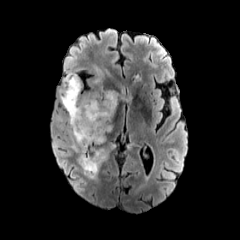
FLAIR MRI.
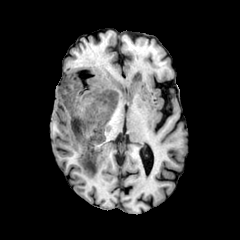
T1-weighted MR image of the same slice.
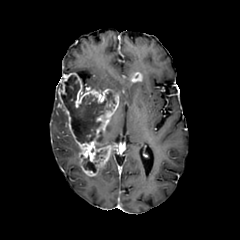
Post-contrast T1-weighted MRI.
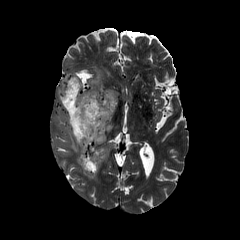
T2-weighted MR image.
240x240 | Head | Axial slice
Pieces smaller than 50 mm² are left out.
necrotic tumor core = (x1=97, y1=131, x2=103, y2=142), (x1=61, y1=75, x2=115, y2=143), (x1=83, y1=156, x2=97, y2=172)
peritumoral edema = (x1=68, y1=127, x2=80, y2=152), (x1=92, y1=67, x2=102, y2=84)
enhancing tumor = (x1=132, y1=72, x2=142, y2=81), (x1=58, y1=73, x2=118, y2=176)